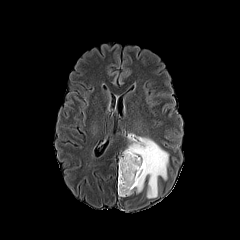
FLAIR MRI.
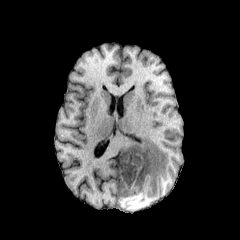
T1-weighted magnetic resonance of the same slice.
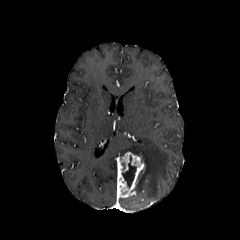
Same slice, post-contrast T1-weighted MR.
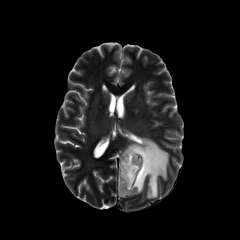
T2-weighted MRI.
Head
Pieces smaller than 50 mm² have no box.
The enhancing tumor lies within [x1=117, y1=152, x2=144, y2=197]. The largest necrotic tumor core region is located at [x1=122, y1=155, x2=136, y2=188]. The peritumoral edema is at [x1=122, y1=136, x2=168, y2=198].